FLAIR MRI.
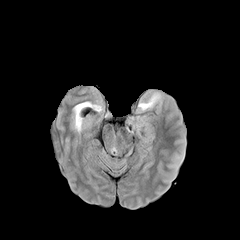
T1-weighted MRI.
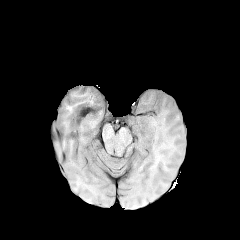
Post-contrast T1-weighted MRI.
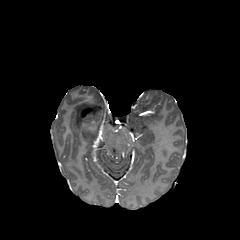
T2-weighted magnetic resonance.
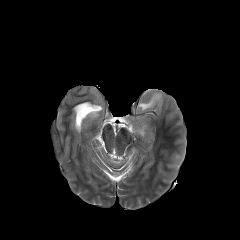
240x240 px. Brain.
peritumoral edema: [x1=138, y1=94, x2=160, y2=110]